FLAIR magnetic resonance.
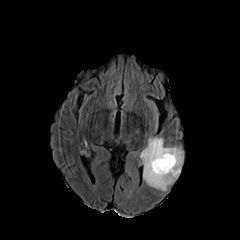
T1-weighted MRI.
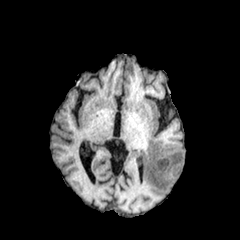
Post-contrast T1-weighted MR image.
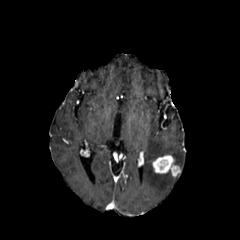
T2-weighted MR.
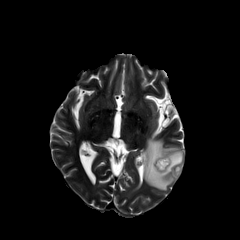
Axial plane
* enhancing tumor: (152,155,180,176)
* peritumoral edema: (143,137,183,191)